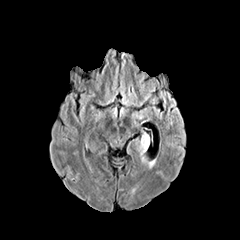
FLAIR magnetic resonance.
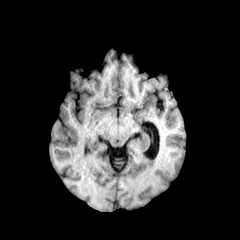
T1-weighted magnetic resonance.
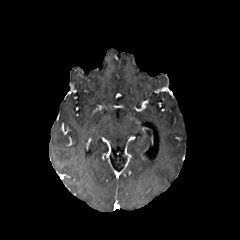
Post-contrast T1-weighted MR image.
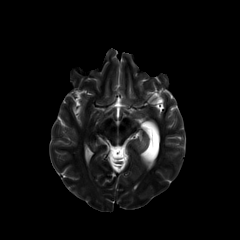
Same slice, T2-weighted MR image.
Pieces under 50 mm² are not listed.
The largest peritumoral edema region is located at x1=139 y1=136 x2=149 y2=154.